FLAIR MR.
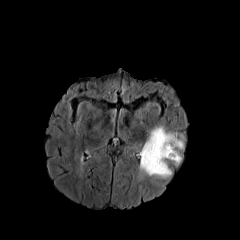
T1-weighted MRI.
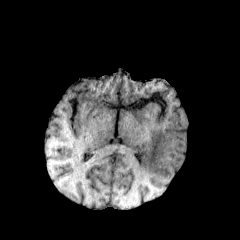
Post-contrast T1-weighted magnetic resonance.
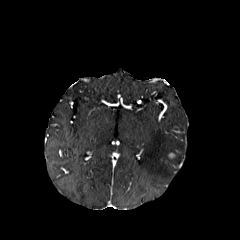
T2-weighted MR.
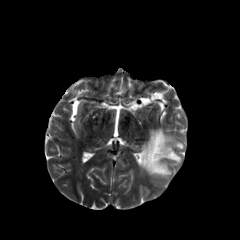
Image size 240x240 | Axial view
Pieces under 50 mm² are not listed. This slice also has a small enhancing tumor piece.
peritumoral edema: bounding box region(139, 126, 183, 178)